Image covers 240 mm x 240 mm | Slice index 49 | Brain
FLAIR MRI.
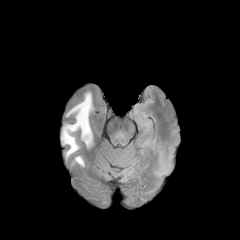
T1-weighted MRI.
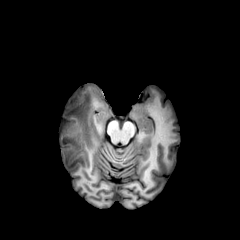
Post-contrast T1-weighted MR.
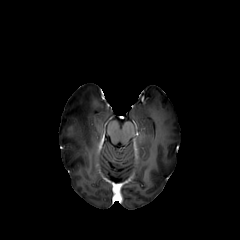
T2-weighted MR image.
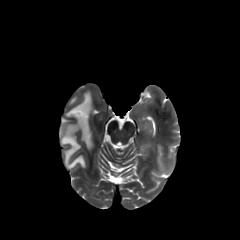
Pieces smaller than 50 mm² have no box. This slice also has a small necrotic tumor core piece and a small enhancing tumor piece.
peritumoral edema — 61,92,92,160; 72,156,84,166